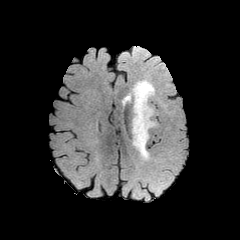
FLAIR MRI.
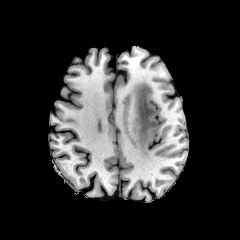
T1-weighted MR.
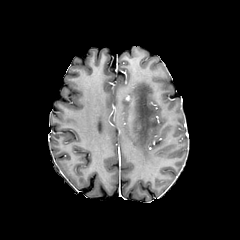
Same slice, post-contrast T1-weighted MR.
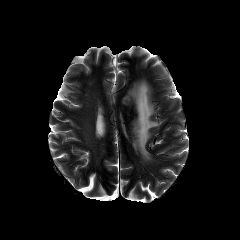
T2-weighted magnetic resonance.
240x240 px
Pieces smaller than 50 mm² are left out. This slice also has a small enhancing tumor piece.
The peritumoral edema appears at [122, 80, 156, 160].